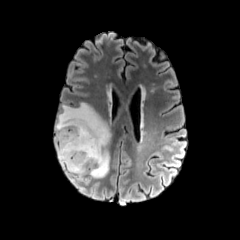
FLAIR MRI.
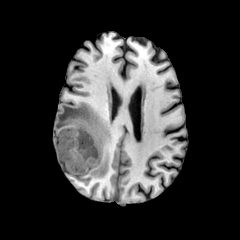
T1-weighted MR.
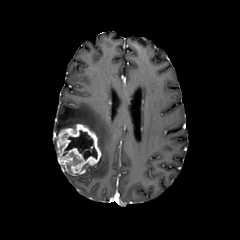
Post-contrast T1-weighted MR image.
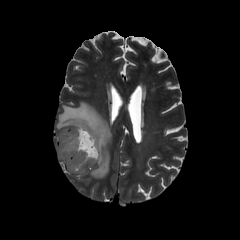
Same slice, T2-weighted MRI.
Axial view | 240x240 px
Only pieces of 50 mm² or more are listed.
peritumoral_edema:
  - (54,102,111,178)
necrotic_tumor_core:
  - (63,130,97,159)
enhancing_tumor:
  - (56,123,101,174)